FLAIR magnetic resonance.
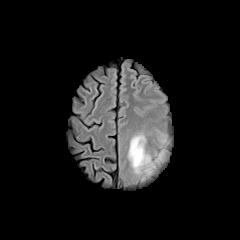
T1-weighted MR.
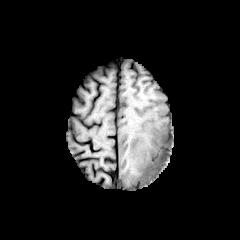
Post-contrast T1-weighted MR.
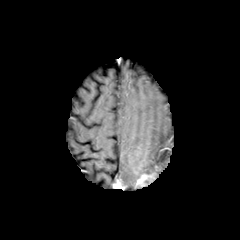
T2-weighted MRI.
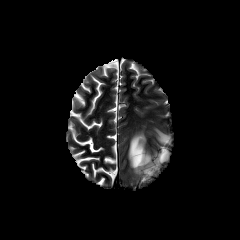
Head. 240x240 px.
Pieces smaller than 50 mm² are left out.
peritumoral edema: bounding box [x1=127, y1=132, x2=167, y2=176], [x1=156, y1=130, x2=168, y2=147]
enhancing tumor: bounding box [x1=137, y1=169, x2=155, y2=185]